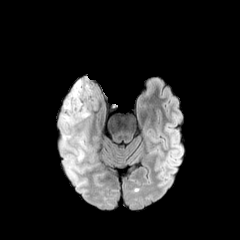
FLAIR magnetic resonance.
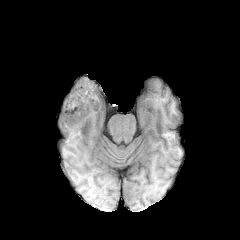
T1-weighted MR image.
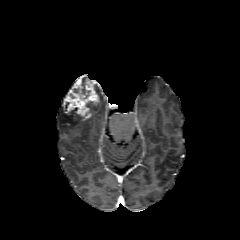
Post-contrast T1-weighted MRI.
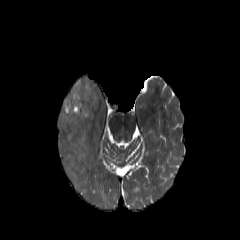
Same slice, T2-weighted MRI.
Head
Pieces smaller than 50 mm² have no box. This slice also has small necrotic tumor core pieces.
The 2 largest peritumoral edema regions appear at <bbox>60, 112, 81, 126</bbox>, <bbox>78, 134, 85, 148</bbox>. The enhancing tumor lies within <bbox>63, 79, 98, 120</bbox>.